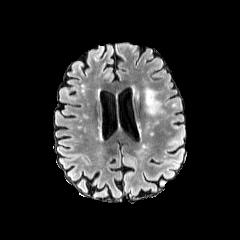
FLAIR magnetic resonance.
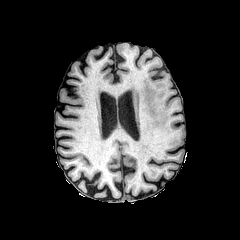
Same slice, T1-weighted MRI.
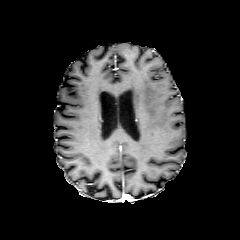
Post-contrast T1-weighted MRI of the same slice.
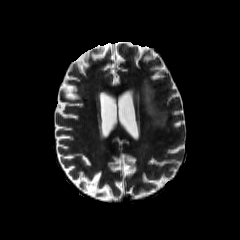
T2-weighted MRI.
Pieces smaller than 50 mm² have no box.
The largest peritumoral edema region lies within 144:86:162:115.